Slice 105/155; Brain
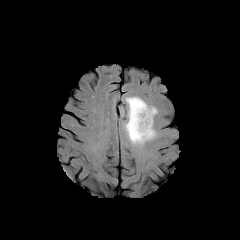
FLAIR MR.
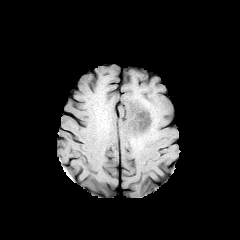
T1-weighted magnetic resonance of the same slice.
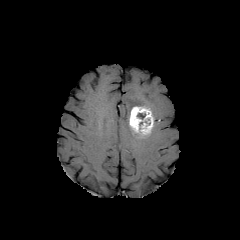
Post-contrast T1-weighted MR.
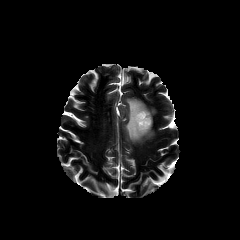
Same slice, T2-weighted MR.
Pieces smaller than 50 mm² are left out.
Annotated regions:
- peritumoral edema: <bbox>123, 97, 157, 145</bbox>
- enhancing tumor: <bbox>129, 106, 155, 137</bbox>